Brain | Axial plane | 240x240 px
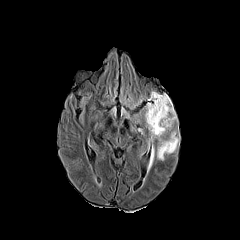
FLAIR MR.
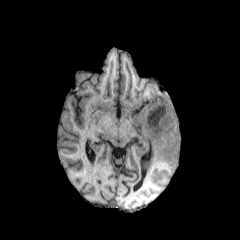
Same slice, T1-weighted MRI.
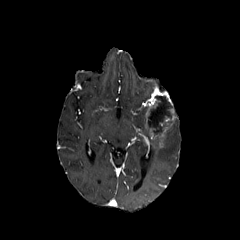
Post-contrast T1-weighted MR image of the same slice.
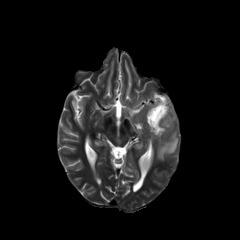
T2-weighted MR image.
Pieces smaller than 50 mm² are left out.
<segmentation>
  <necrotic_tumor_core>box=[148, 96, 172, 134]</necrotic_tumor_core>
  <peritumoral_edema>box=[151, 123, 179, 160]</peritumoral_edema>
  <enhancing_tumor>box=[145, 89, 177, 147]</enhancing_tumor>
</segmentation>